Slice 54 of 155 | Brain | Image width 240 mm
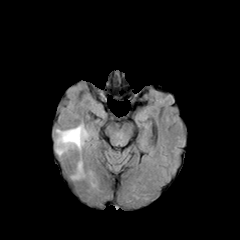
FLAIR magnetic resonance.
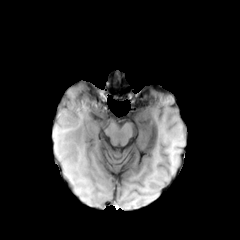
T1-weighted MRI.
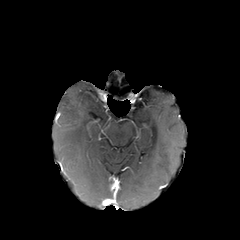
Post-contrast T1-weighted magnetic resonance.
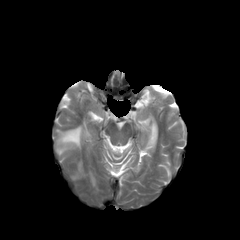
T2-weighted magnetic resonance.
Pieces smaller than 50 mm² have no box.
peritumoral edema = (x1=57, y1=125, x2=88, y2=154)